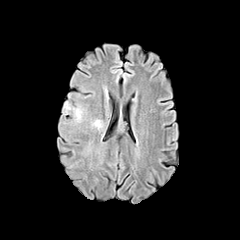
FLAIR magnetic resonance.
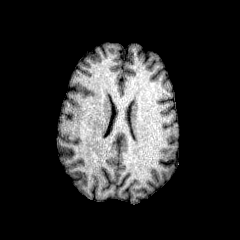
T1-weighted MR.
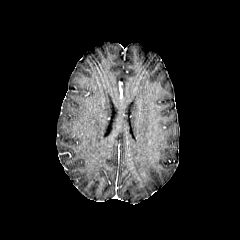
Same slice, post-contrast T1-weighted MRI.
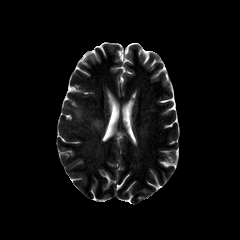
T2-weighted magnetic resonance.
Axial plane | 240x240
Findings:
• peritumoral edema: <bbox>92, 119, 103, 129</bbox>, <bbox>64, 103, 83, 122</bbox>